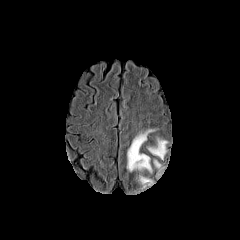
FLAIR magnetic resonance.
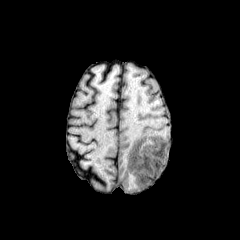
T1-weighted magnetic resonance.
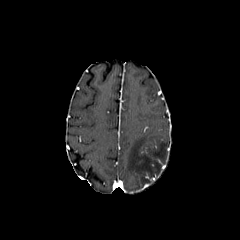
Post-contrast T1-weighted magnetic resonance.
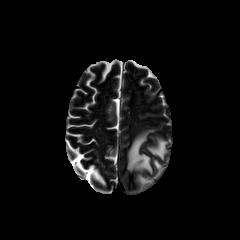
T2-weighted magnetic resonance.
Brain
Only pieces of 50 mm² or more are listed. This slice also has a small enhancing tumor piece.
peritumoral edema: [138, 176, 152, 187], [127, 129, 154, 173], [148, 138, 167, 159]